Image covers 240 mm x 240 mm | Axial slice | Head
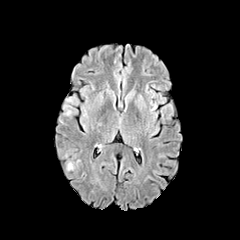
FLAIR MR.
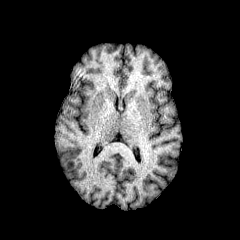
T1-weighted MRI.
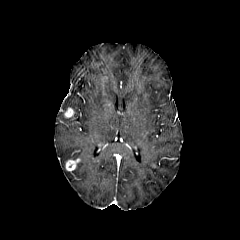
Post-contrast T1-weighted magnetic resonance.
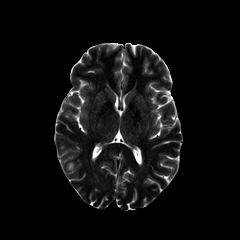
T2-weighted MRI.
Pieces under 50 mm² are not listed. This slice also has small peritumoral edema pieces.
enhancing tumor — 64,107,74,117; 66,158,80,171